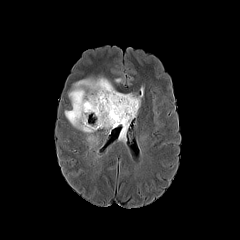
FLAIR MRI.
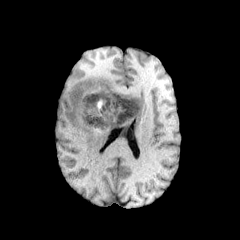
T1-weighted MRI.
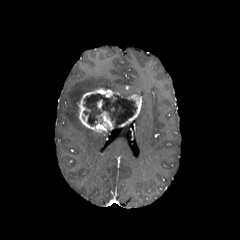
Same slice, post-contrast T1-weighted magnetic resonance.
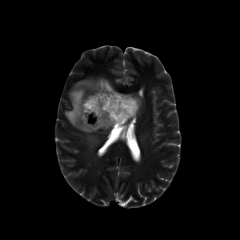
T2-weighted magnetic resonance.
Axial slice, 240x240 px, Brain
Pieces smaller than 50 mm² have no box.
The 2 largest enhancing tumor regions appear at region(119, 94, 141, 126); region(77, 88, 122, 132). The largest peritumoral edema region is at region(64, 77, 115, 147). The necrotic tumor core is at region(84, 94, 137, 127).